Slice index 73 | Head | Image width 240 mm, 1.00 mm slice spacing
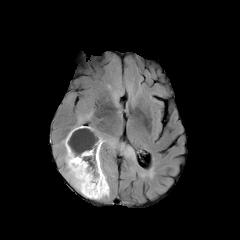
FLAIR MR.
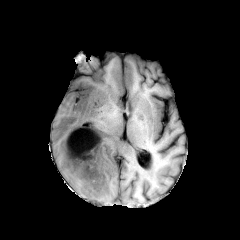
Same slice, T1-weighted MR image.
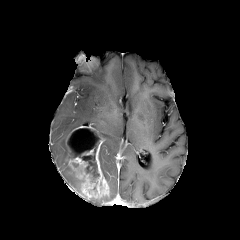
Post-contrast T1-weighted magnetic resonance.
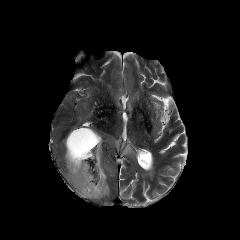
T2-weighted magnetic resonance of the same slice.
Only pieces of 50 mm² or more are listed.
enhancing_tumor:
  - left=81, top=148, right=94, bottom=156
  - left=66, top=125, right=109, bottom=198
necrotic_tumor_core:
  - left=67, top=128, right=99, bottom=179
peritumoral_edema:
  - left=103, top=138, right=117, bottom=147
  - left=73, top=116, right=84, bottom=128
  - left=62, top=137, right=80, bottom=192
  - left=99, top=145, right=106, bottom=180